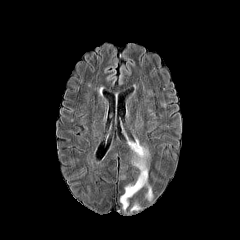
FLAIR MRI.
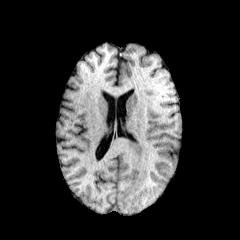
T1-weighted MR.
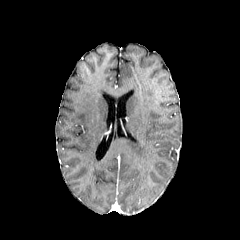
Post-contrast T1-weighted MR of the same slice.
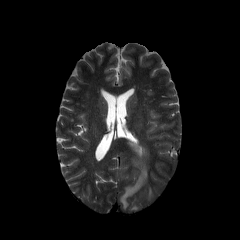
Same slice, T2-weighted MR.
2 peritumoral edema regions are bounded by left=120, top=141, right=152, bottom=209; left=131, top=203, right=142, bottom=211.